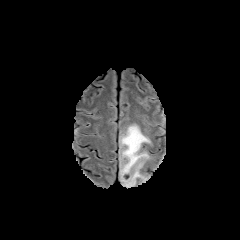
FLAIR MR image.
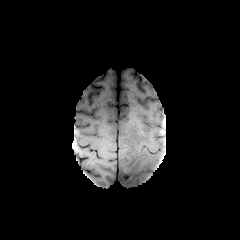
Same slice, T1-weighted MRI.
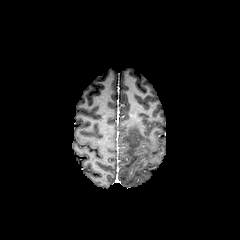
Post-contrast T1-weighted MR.
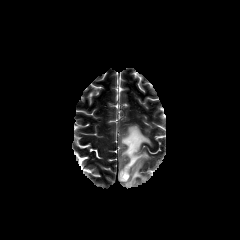
Same slice, T2-weighted MRI.
Brain, Axial view, 240x240 px
<segmentation>
  <peritumoral_edema>119:124:150:187</peritumoral_edema>
</segmentation>